FLAIR MR.
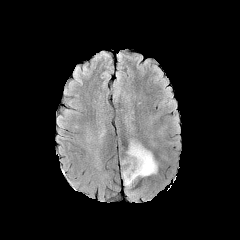
T1-weighted magnetic resonance.
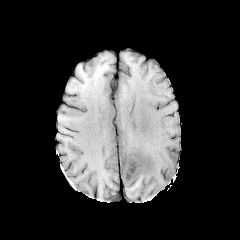
Post-contrast T1-weighted MR.
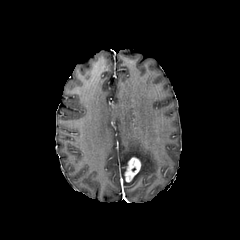
T2-weighted MRI.
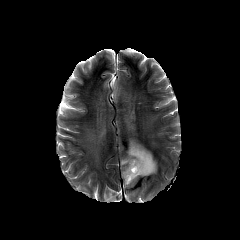
Axial slice | Brain
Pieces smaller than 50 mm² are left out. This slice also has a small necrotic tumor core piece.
The largest peritumoral edema region is located at 121,140,157,188. The enhancing tumor is bounded by 124,157,141,182.